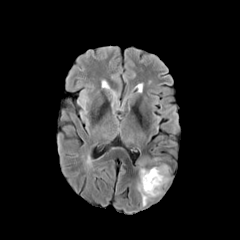
FLAIR magnetic resonance.
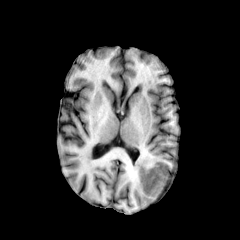
Same slice, T1-weighted MRI.
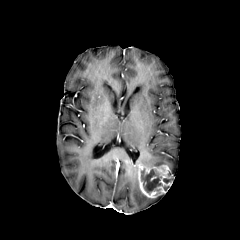
Post-contrast T1-weighted MRI.
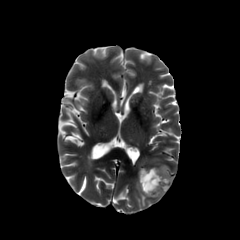
Same slice, T2-weighted MR image.
240x240 px | Head
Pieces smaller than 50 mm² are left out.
peritumoral edema: region(140, 157, 161, 165); region(136, 182, 149, 206) | enhancing tumor: region(138, 165, 171, 197) | necrotic tumor core: region(141, 169, 161, 192)